Slice 84 of 155.
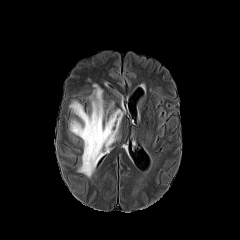
FLAIR MR image.
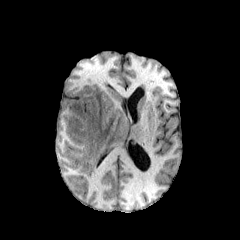
T1-weighted MR image of the same slice.
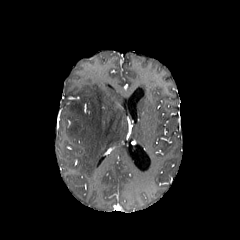
Post-contrast T1-weighted MR of the same slice.
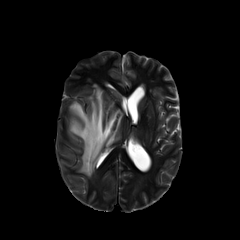
T2-weighted MRI of the same slice.
peritumoral edema: bounding box [x1=69, y1=84, x2=123, y2=177]